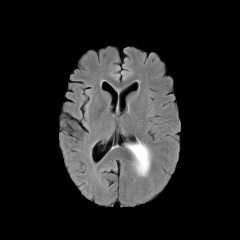
FLAIR MR image.
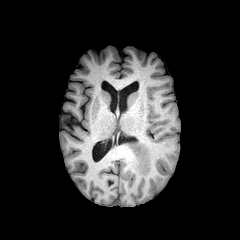
Same slice, T1-weighted magnetic resonance.
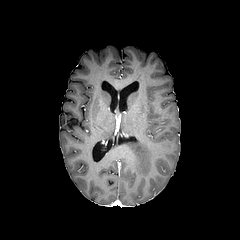
Post-contrast T1-weighted MRI of the same slice.
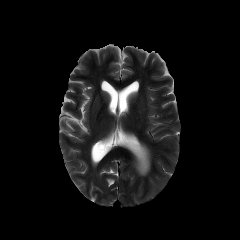
T2-weighted MR image.
Axial view; Head
peritumoral edema: bounding box (left=127, top=141, right=150, bottom=175)